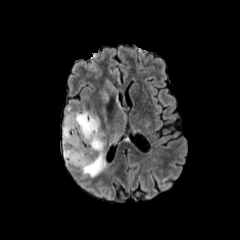
FLAIR MR.
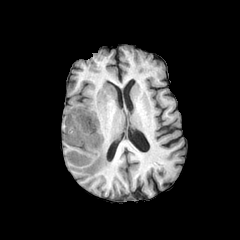
T1-weighted MR.
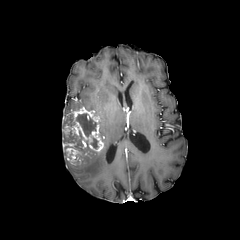
Post-contrast T1-weighted MRI of the same slice.
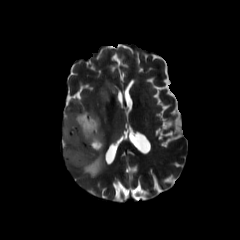
T2-weighted MR of the same slice.
Axial view, Brain
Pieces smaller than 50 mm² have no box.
necrotic tumor core at (66,130,82,148), (91,137,97,148), (76,113,96,137)
enhancing tumor at (62,103,104,166)
peritumoral edema at (64,100,80,114), (80,103,126,177), (100,79,119,104)